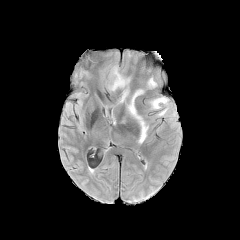
FLAIR MR.
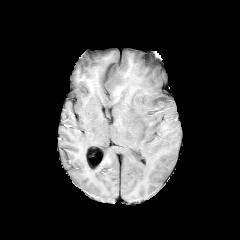
T1-weighted MR.
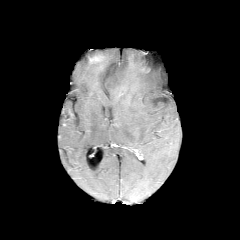
Post-contrast T1-weighted MRI of the same slice.
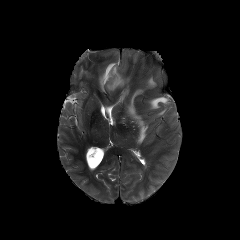
T2-weighted MRI.
Axial slice | Image size 240x240 | Brain
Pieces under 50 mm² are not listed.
peritumoral edema: x1=149, y1=96, x2=169, y2=109; x1=107, y1=51, x2=165, y2=143